FLAIR MR.
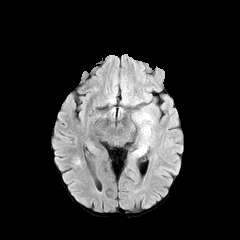
T1-weighted MR.
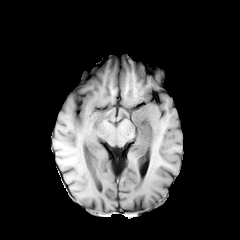
Post-contrast T1-weighted magnetic resonance.
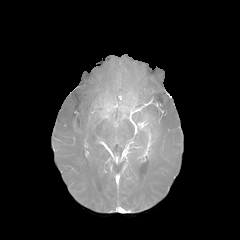
T2-weighted MRI.
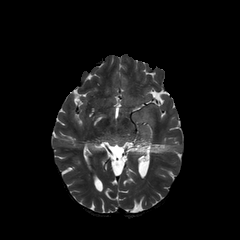
{"peritumoral_edema": ["x1=132 y1=104 x2=156 y2=156"], "enhancing_tumor": ["x1=135 y1=114 x2=152 y2=144"]}